Axial slice. Slice 103 of 155. Image size 240x240. Brain.
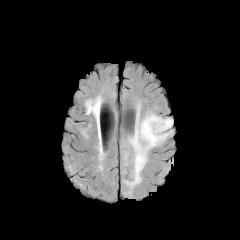
FLAIR MR image.
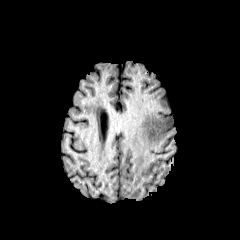
T1-weighted magnetic resonance.
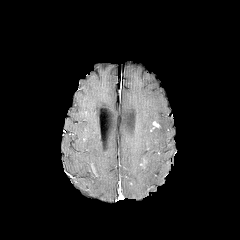
Post-contrast T1-weighted magnetic resonance.
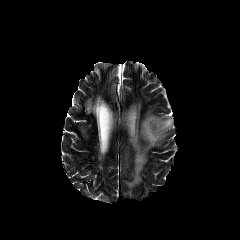
T2-weighted MR.
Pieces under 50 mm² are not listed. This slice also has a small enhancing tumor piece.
<segmentation>
  <peritumoral_edema>[124, 103, 173, 188]</peritumoral_edema>
</segmentation>